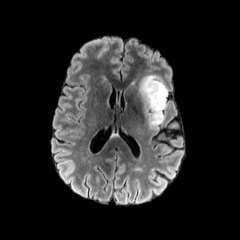
FLAIR magnetic resonance.
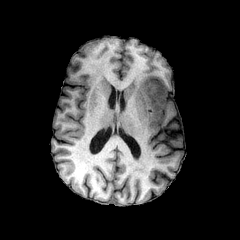
T1-weighted magnetic resonance.
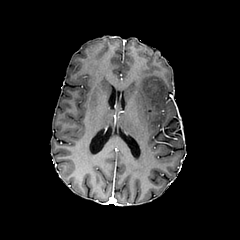
Same slice, post-contrast T1-weighted MR image.
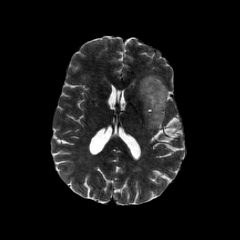
T2-weighted MR of the same slice.
Brain | Axial slice
The peritumoral edema is located at (139, 75, 167, 130).